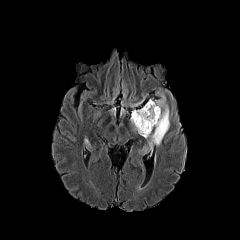
FLAIR MR image.
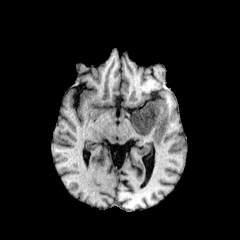
T1-weighted MRI.
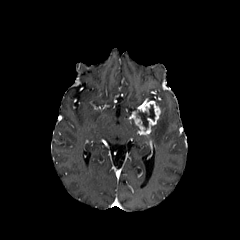
Post-contrast T1-weighted MRI of the same slice.
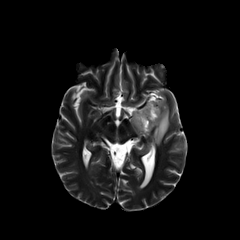
T2-weighted MRI.
Brain.
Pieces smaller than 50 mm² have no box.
The necrotic tumor core is at [137, 104, 155, 129]. The enhancing tumor is at [132, 100, 160, 136]. The 2 largest peritumoral edema regions are bounded by [148, 94, 169, 146], [130, 95, 147, 107].